Image size 240x240
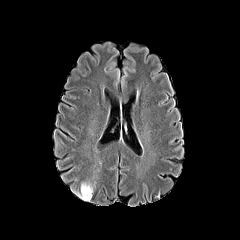
FLAIR MRI.
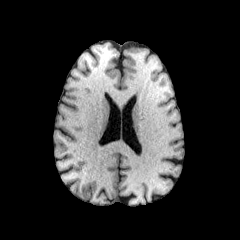
T1-weighted MRI.
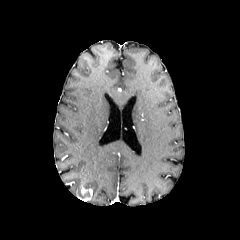
Post-contrast T1-weighted MRI of the same slice.
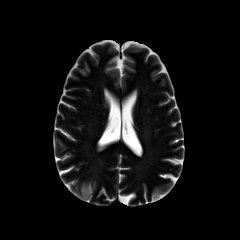
T2-weighted MR.
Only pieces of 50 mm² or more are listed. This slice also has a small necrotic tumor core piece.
The largest peritumoral edema region lies within box=[78, 182, 93, 198]. The enhancing tumor lies within box=[81, 186, 92, 200].